Slice 80 of 155. Image width 240 mm, 1.00 mm slice spacing. Head.
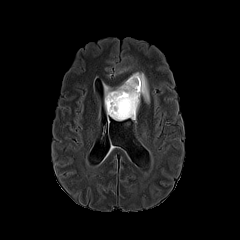
FLAIR MRI.
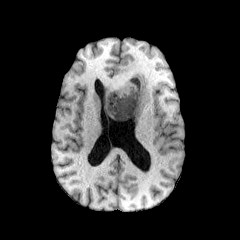
T1-weighted MR.
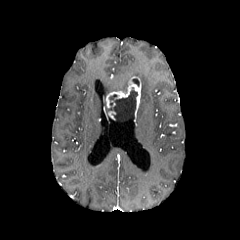
Post-contrast T1-weighted magnetic resonance.
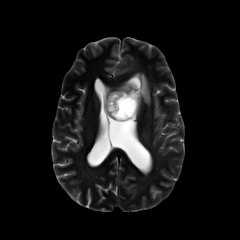
T2-weighted MR image of the same slice.
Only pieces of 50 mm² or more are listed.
enhancing tumor: [x1=105, y1=76, x2=141, y2=125]
necrotic tumor core: [x1=107, y1=87, x2=138, y2=122]
peritumoral edema: [x1=103, y1=84, x2=112, y2=98], [x1=130, y1=72, x2=149, y2=103]